FLAIR MRI.
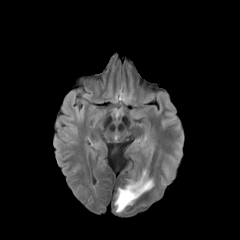
T1-weighted magnetic resonance.
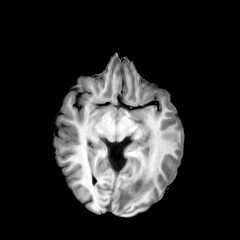
Post-contrast T1-weighted MR image.
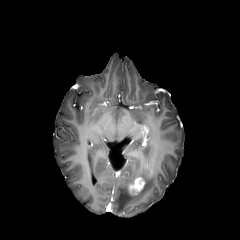
T2-weighted MRI.
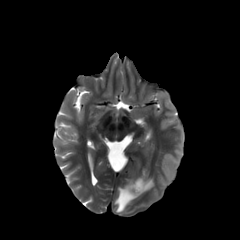
Brain
The enhancing tumor lies within (left=128, top=177, right=144, bottom=194). The peritumoral edema appears at (left=115, top=170, right=153, bottom=212).